FLAIR MR image.
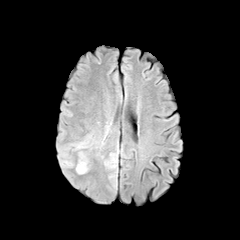
T1-weighted MR image.
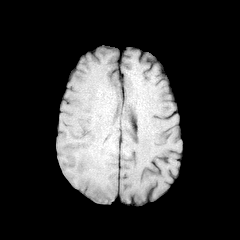
Post-contrast T1-weighted MR.
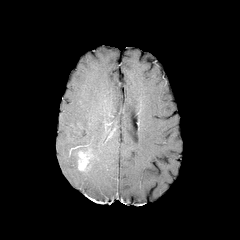
T2-weighted MRI.
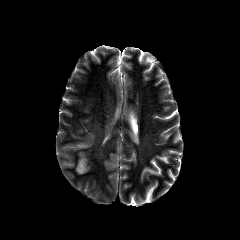
Axial slice, Head, 240x240
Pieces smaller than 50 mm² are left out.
The enhancing tumor is bounded by x1=78, y1=152, x2=89, y2=171. The 2 largest peritumoral edema regions are bounded by x1=76, y1=142, x2=87, y2=149; x1=62, y1=160, x2=73, y2=166.